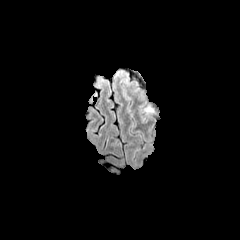
FLAIR MRI.
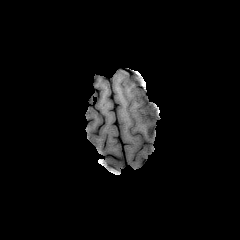
T1-weighted magnetic resonance of the same slice.
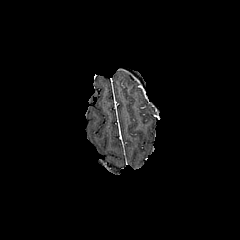
Post-contrast T1-weighted MR of the same slice.
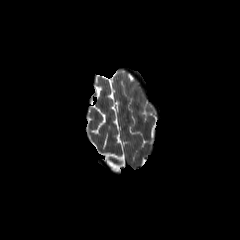
T2-weighted MR.
Head, Axial slice
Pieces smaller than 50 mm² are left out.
{"peritumoral_edema": ["l=139, t=105, r=153, b=118", "l=125, t=80, r=138, b=91", "l=122, t=86, r=130, b=100"]}